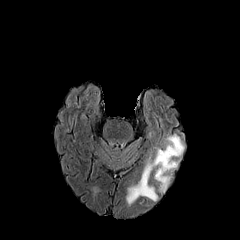
FLAIR MR.
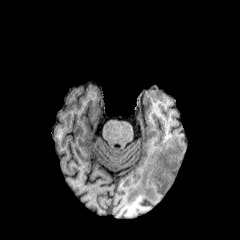
T1-weighted MR image of the same slice.
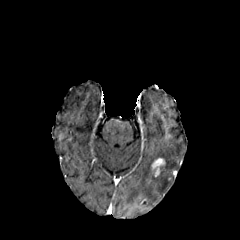
Post-contrast T1-weighted magnetic resonance.
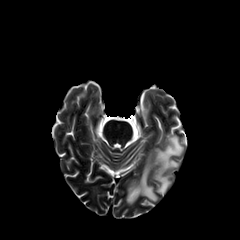
T2-weighted magnetic resonance.
240x240 px
peritumoral edema: <box>154,134,184,192</box>, <box>126,155,157,204</box> | enhancing tumor: <box>151,158,165,176</box>